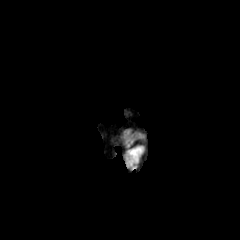
FLAIR magnetic resonance.
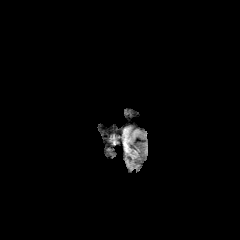
T1-weighted magnetic resonance.
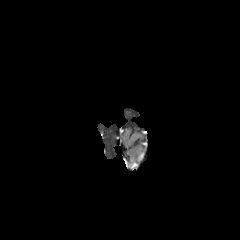
Same slice, post-contrast T1-weighted magnetic resonance.
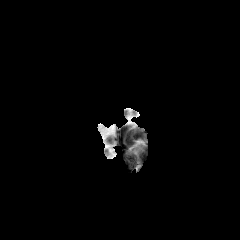
T2-weighted magnetic resonance of the same slice.
Head.
{"peritumoral_edema": ["x1=129 y1=148 x2=141 y2=158"]}